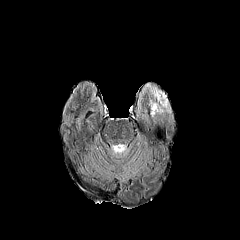
FLAIR MRI.
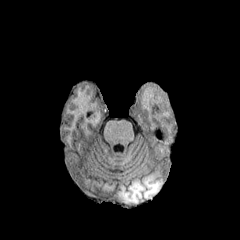
T1-weighted magnetic resonance of the same slice.
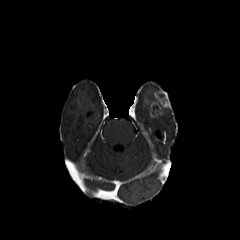
Post-contrast T1-weighted MR image of the same slice.
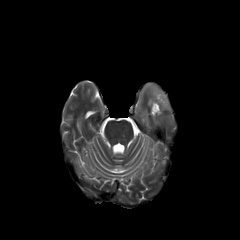
T2-weighted MR of the same slice.
Image size 240x240.
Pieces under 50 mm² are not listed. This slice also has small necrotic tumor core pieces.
Segmented structures:
• enhancing tumor: [147,89,171,117]
• peritumoral edema: [144,84,159,100]